Head.
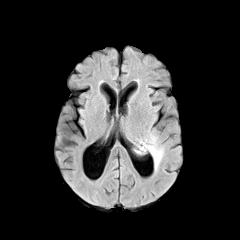
FLAIR magnetic resonance.
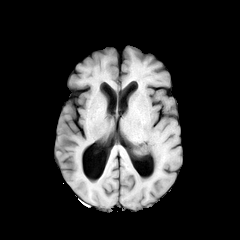
Same slice, T1-weighted MR.
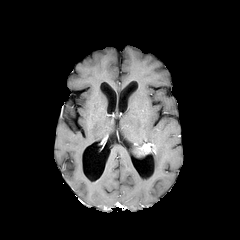
Post-contrast T1-weighted MRI.
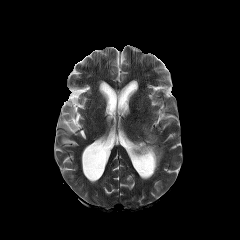
T2-weighted MR.
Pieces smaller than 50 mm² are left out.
The enhancing tumor is at bbox=[138, 143, 155, 154]. The largest peritumoral edema region lies within bbox=[135, 130, 163, 170].